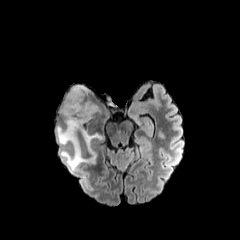
FLAIR MR.
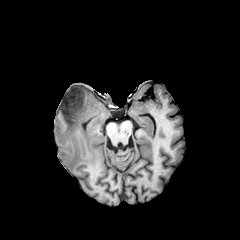
Same slice, T1-weighted MRI.
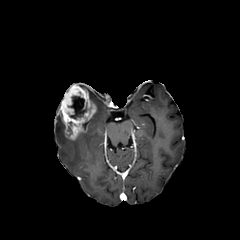
Same slice, post-contrast T1-weighted MR.
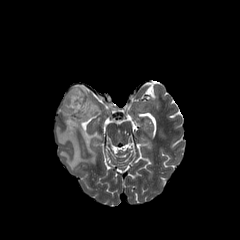
T2-weighted magnetic resonance.
Axial slice
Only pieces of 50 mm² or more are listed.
{
  "enhancing_tumor": [
    "(59, 84, 96, 140)"
  ],
  "necrotic_tumor_core": [
    "(70, 96, 87, 118)"
  ],
  "peritumoral_edema": [
    "(56, 126, 102, 171)"
  ]
}